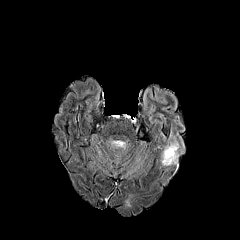
FLAIR MR.
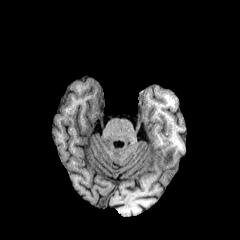
T1-weighted magnetic resonance.
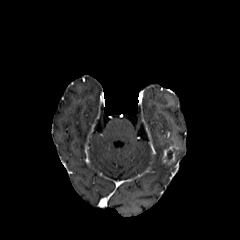
Post-contrast T1-weighted MR.
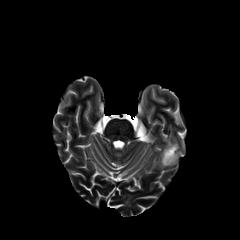
T2-weighted magnetic resonance.
Axial view
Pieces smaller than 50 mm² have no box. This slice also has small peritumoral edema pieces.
{
  "necrotic_tumor_core": [
    "(left=167, top=148, right=176, bottom=160)"
  ],
  "enhancing_tumor": [
    "(left=162, top=145, right=179, bottom=164)"
  ]
}